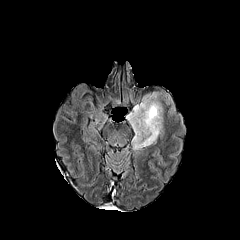
FLAIR MRI.
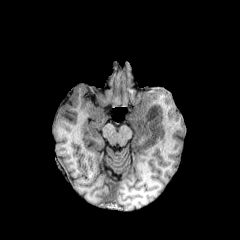
T1-weighted MR image.
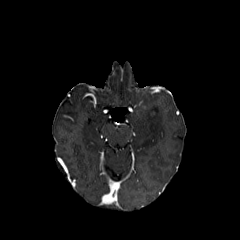
Post-contrast T1-weighted magnetic resonance.
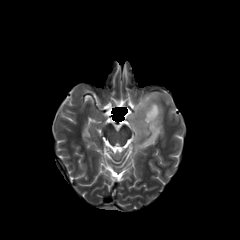
T2-weighted MR image of the same slice.
Axial view, Brain
peritumoral edema: bounding box region(127, 93, 162, 149)